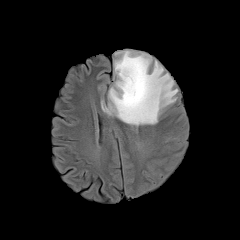
FLAIR MR.
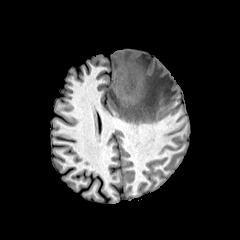
Same slice, T1-weighted MR.
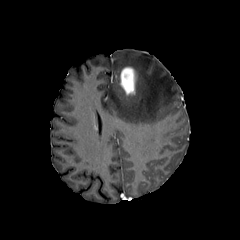
Post-contrast T1-weighted MR.
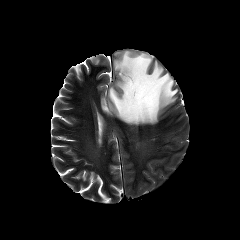
Same slice, T2-weighted MR image.
Head.
<segmentation>
  <enhancing_tumor>120:66:136:95</enhancing_tumor>
  <peritumoral_edema>101:50:178:125</peritumoral_edema>
</segmentation>